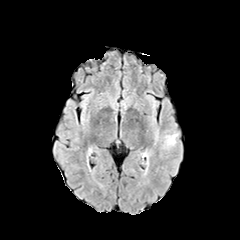
FLAIR MR.
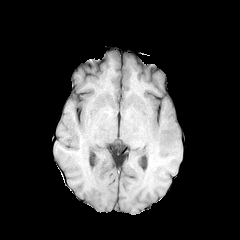
T1-weighted MR.
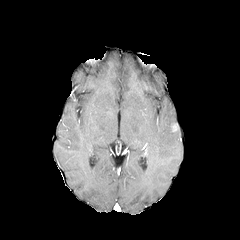
Post-contrast T1-weighted magnetic resonance.
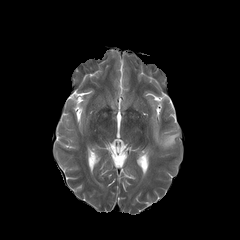
Same slice, T2-weighted MR image.
Axial slice, Head
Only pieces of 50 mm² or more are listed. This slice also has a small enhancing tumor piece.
Findings:
* peritumoral edema: box(154, 128, 178, 148)